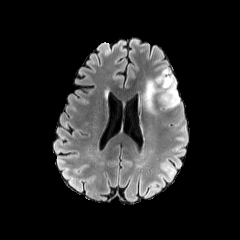
FLAIR MRI.
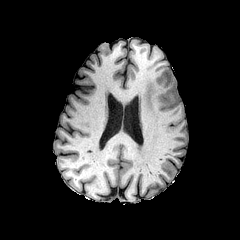
T1-weighted magnetic resonance.
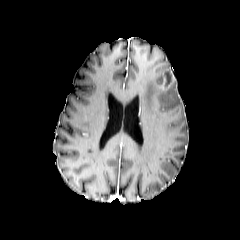
Same slice, post-contrast T1-weighted MR image.
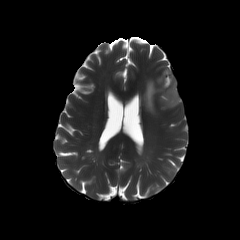
T2-weighted MR image.
Image size 240x240. Brain. Axial plane.
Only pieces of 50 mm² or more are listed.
enhancing tumor: x1=160 y1=71 x2=174 y2=89
necrotic tumor core: x1=165 y1=73 x2=172 y2=83
peritumoral edema: x1=141 y1=72 x2=180 y2=115